FLAIR magnetic resonance.
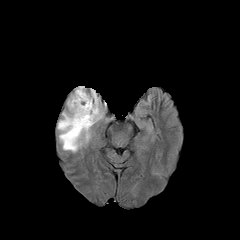
T1-weighted MR.
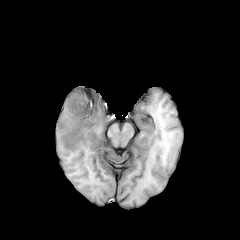
Post-contrast T1-weighted magnetic resonance.
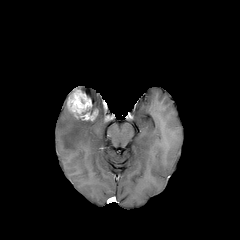
T2-weighted MR image.
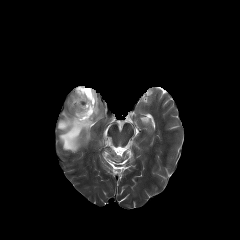
peritumoral_edema:
  - x1=57 y1=86 x2=103 y2=152
enhancing_tumor:
  - x1=67 y1=87 x2=98 y2=120